Brain; Slice 39 of 155; Image width 240 mm
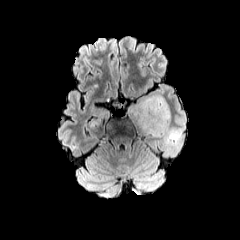
FLAIR MRI.
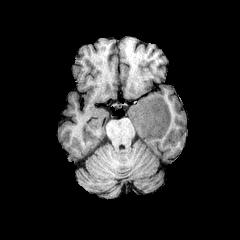
T1-weighted MRI.
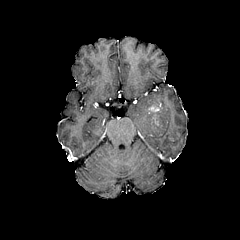
Post-contrast T1-weighted MR image of the same slice.
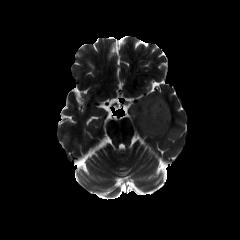
T2-weighted magnetic resonance.
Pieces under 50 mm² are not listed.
enhancing tumor: region(148, 99, 162, 113) | peritumoral edema: region(131, 93, 170, 138)